Slice 31/155; Brain
FLAIR magnetic resonance.
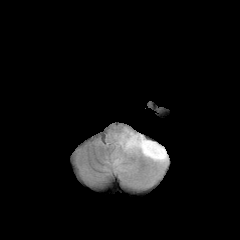
T1-weighted MR image.
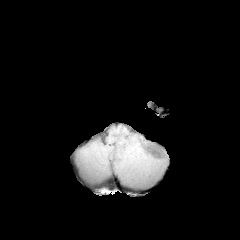
Post-contrast T1-weighted MRI.
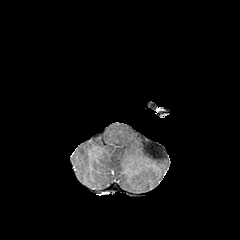
T2-weighted MR.
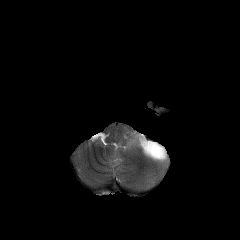
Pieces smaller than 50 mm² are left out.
peritumoral edema at (left=106, top=128, right=168, bottom=186)